Head; 240x240; Axial view
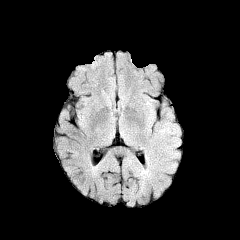
FLAIR MRI.
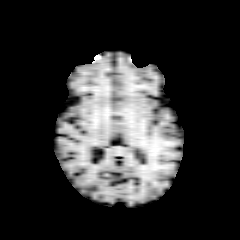
T1-weighted MR of the same slice.
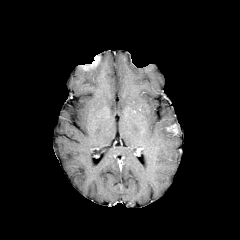
Same slice, post-contrast T1-weighted MRI.
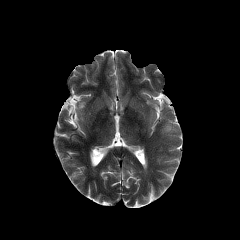
T2-weighted MR image.
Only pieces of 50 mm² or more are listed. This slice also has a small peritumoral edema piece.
{
  "enhancing_tumor": [
    "[166, 124, 179, 134]"
  ]
}